Brain; Axial view
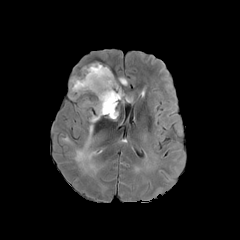
FLAIR MR.
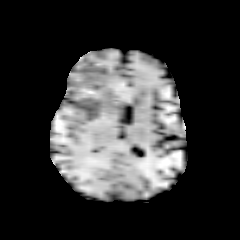
Same slice, T1-weighted MR image.
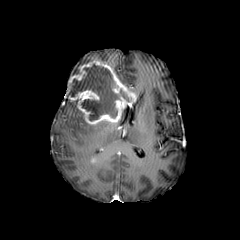
Post-contrast T1-weighted MR.
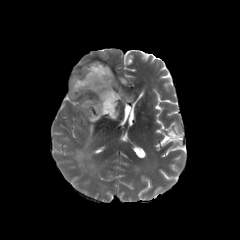
T2-weighted MR.
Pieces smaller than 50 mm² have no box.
{"necrotic_tumor_core": ["68 64 118 120", "120 89 129 101"], "enhancing_tumor": ["67 61 135 125"], "peritumoral_edema": ["74 125 97 171"]}